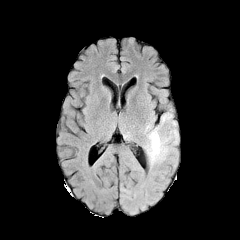
FLAIR MR image.
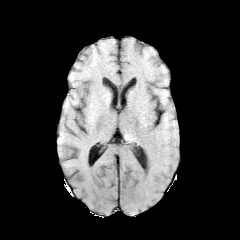
T1-weighted MRI.
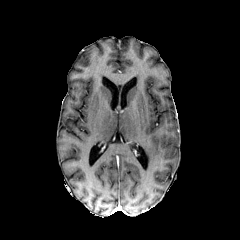
Same slice, post-contrast T1-weighted MR.
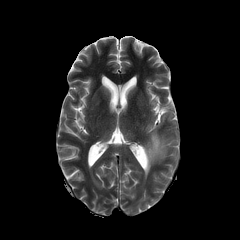
Same slice, T2-weighted MRI.
Axial plane
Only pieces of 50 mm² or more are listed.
Annotated regions:
- peritumoral edema: (145, 127, 167, 165)